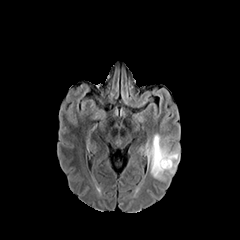
FLAIR MR.
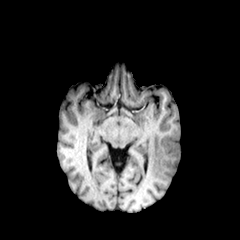
T1-weighted magnetic resonance of the same slice.
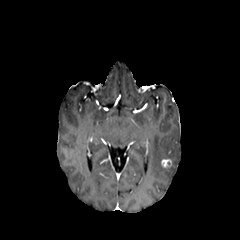
Same slice, post-contrast T1-weighted MR.
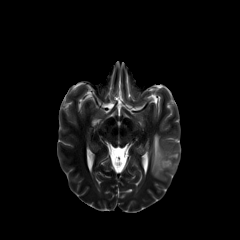
Same slice, T2-weighted MRI.
Head | Axial view
Annotated regions:
* peritumoral edema: bbox=[150, 134, 179, 181]
* enhancing tumor: bbox=[161, 159, 172, 167]